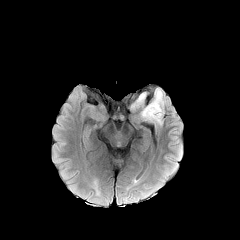
FLAIR MR image.
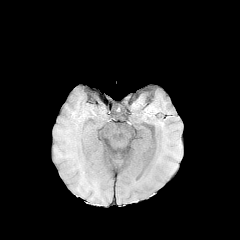
T1-weighted MRI.
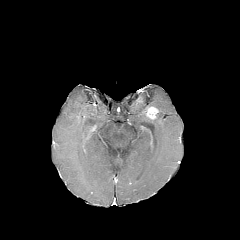
Post-contrast T1-weighted magnetic resonance.
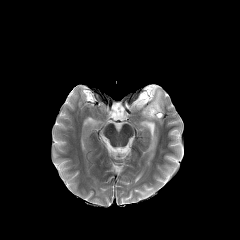
T2-weighted MRI.
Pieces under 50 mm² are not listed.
enhancing tumor: (143,106,158,119)
peritumoral edema: (131,88,165,124)